Axial plane; Image width 240 mm, 1.00 mm slice spacing; Brain
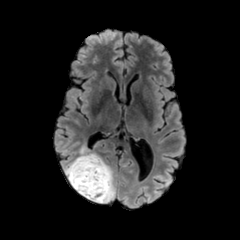
FLAIR MR image.
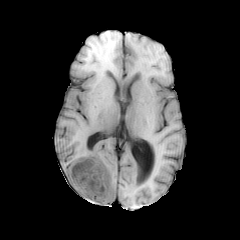
Same slice, T1-weighted MRI.
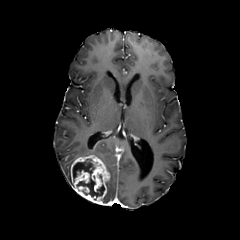
Post-contrast T1-weighted magnetic resonance.
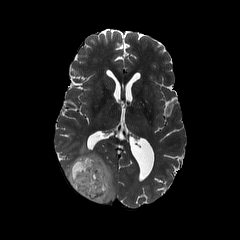
Same slice, T2-weighted MRI.
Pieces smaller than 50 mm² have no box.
The largest necrotic tumor core region is located at 73, 159, 104, 200. 2 peritumoral edema regions are located at 64, 159, 75, 184; 77, 142, 116, 204. The enhancing tumor appears at 70, 154, 110, 203.